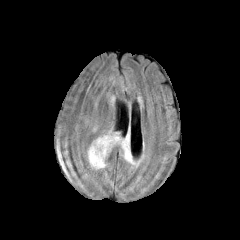
FLAIR magnetic resonance.
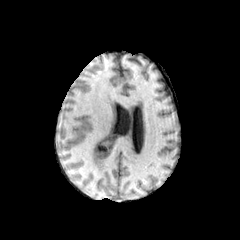
Same slice, T1-weighted MR image.
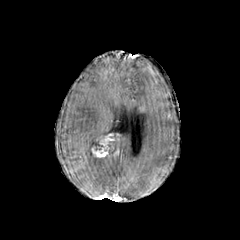
Post-contrast T1-weighted magnetic resonance.
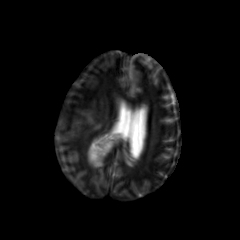
T2-weighted MRI of the same slice.
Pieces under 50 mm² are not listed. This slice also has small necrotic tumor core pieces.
<segmentation>
  <enhancing_tumor>box=[91, 133, 115, 157]</enhancing_tumor>
  <peritumoral_edema>box=[88, 137, 105, 168]; box=[122, 134, 131, 161]; box=[112, 133, 121, 144]</peritumoral_edema>
</segmentation>